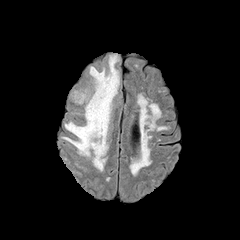
FLAIR magnetic resonance.
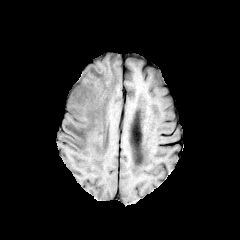
T1-weighted MR image of the same slice.
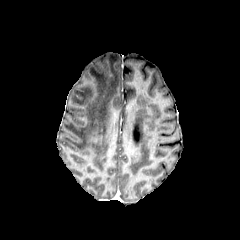
Post-contrast T1-weighted MRI.
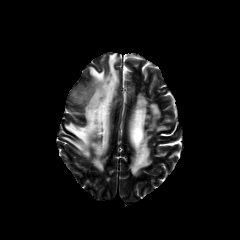
Same slice, T2-weighted MR image.
Brain
<segmentation>
  <peritumoral_edema>62,54,119,171</peritumoral_edema>
</segmentation>